240x240
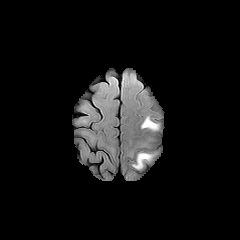
FLAIR magnetic resonance.
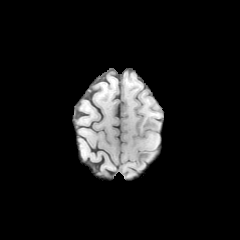
T1-weighted MRI of the same slice.
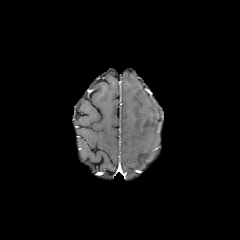
Same slice, post-contrast T1-weighted MRI.
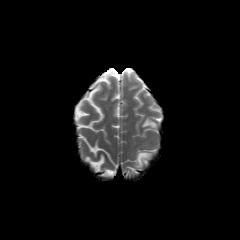
T2-weighted MRI of the same slice.
peritumoral edema: x1=134 y1=150 x2=159 y2=168, x1=142 y1=117 x2=157 y2=129